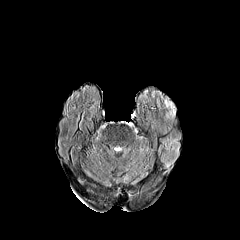
FLAIR MR image.
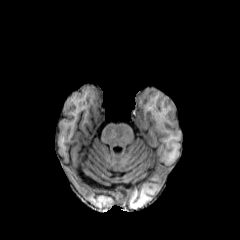
T1-weighted magnetic resonance.
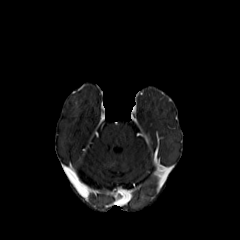
Post-contrast T1-weighted magnetic resonance.
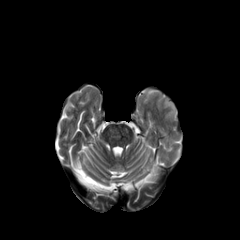
T2-weighted MRI.
Head. Image size 240x240. Axial plane.
peritumoral edema — x1=164, y1=97, x2=175, y2=119